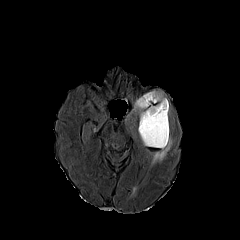
FLAIR MR.
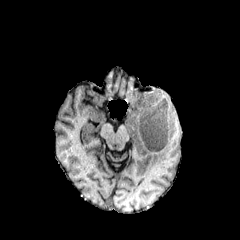
Same slice, T1-weighted MRI.
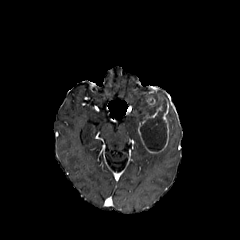
Post-contrast T1-weighted MRI of the same slice.
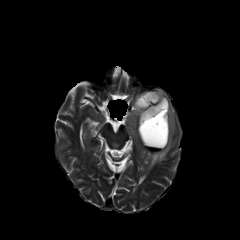
Same slice, T2-weighted MRI.
Axial view | Image size 240x240 | Head
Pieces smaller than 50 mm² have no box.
Findings:
* necrotic tumor core: box=[140, 100, 166, 150]
* enhancing tumor: box=[138, 99, 169, 153]; box=[147, 96, 155, 105]
* peritumoral edema: box=[151, 137, 171, 165]; box=[134, 90, 166, 121]